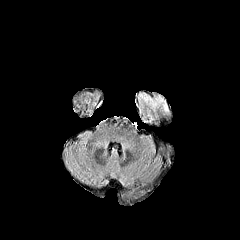
FLAIR MR.
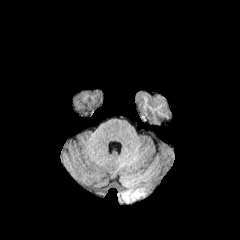
Same slice, T1-weighted MRI.
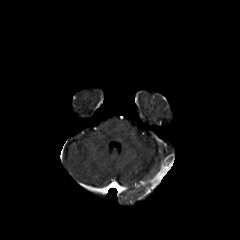
Post-contrast T1-weighted MR image.
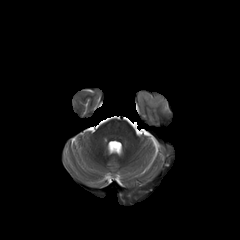
T2-weighted MR image of the same slice.
Image size 240x240. Axial slice. Head.
<segmentation>
  <peritumoral_edema><bbox>152, 98, 168, 111</bbox>, <bbox>141, 94, 150, 101</bbox></peritumoral_edema>
</segmentation>